Slice 68 of 155
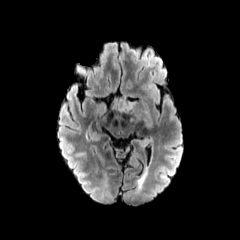
FLAIR MRI.
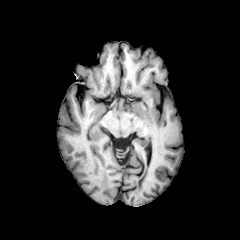
T1-weighted MRI.
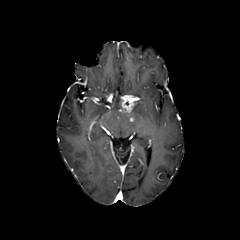
Post-contrast T1-weighted MR of the same slice.
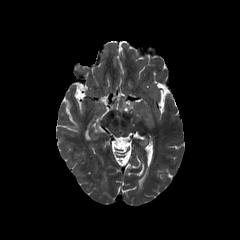
T2-weighted MR.
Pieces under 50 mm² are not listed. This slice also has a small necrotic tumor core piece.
The 2 largest peritumoral edema regions appear at bbox=[134, 102, 154, 121]; bbox=[141, 137, 148, 147]. The largest enhancing tumor region is bounded by bbox=[118, 94, 134, 112].